Axial view, 240x240, Head
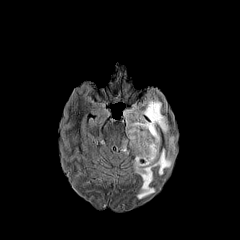
FLAIR MR.
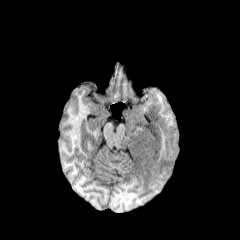
Same slice, T1-weighted MR.
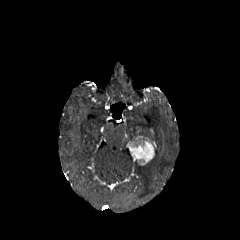
Post-contrast T1-weighted MRI.
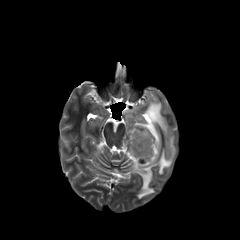
Same slice, T2-weighted MRI.
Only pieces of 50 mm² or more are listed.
peritumoral edema — 125,99,175,198
enhancing tumor — 129,135,156,165